Axial view
FLAIR MRI.
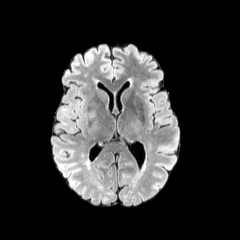
T1-weighted MR.
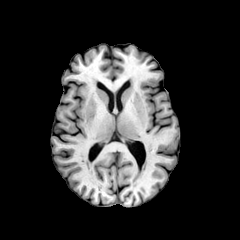
Post-contrast T1-weighted MRI.
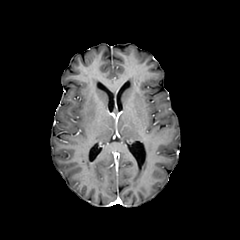
T2-weighted MRI.
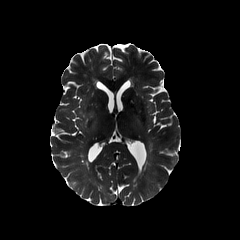
* peritumoral edema: [88,109,95,118]